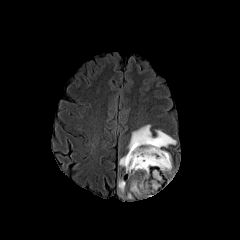
FLAIR MR image.
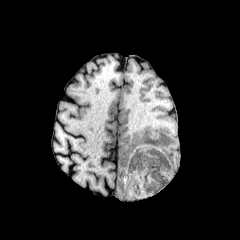
T1-weighted MR of the same slice.
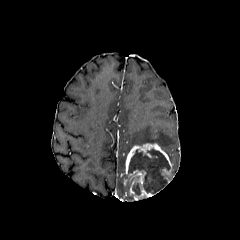
Post-contrast T1-weighted MR image.
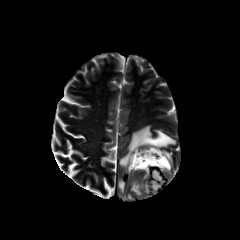
T2-weighted MR.
Brain; 240x240 px
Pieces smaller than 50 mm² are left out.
enhancing tumor: region(124, 143, 172, 198) | necrotic tumor core: region(132, 183, 140, 195); region(128, 149, 170, 192) | peritumoral edema: region(118, 179, 125, 195); region(128, 125, 176, 150); region(119, 155, 126, 167)